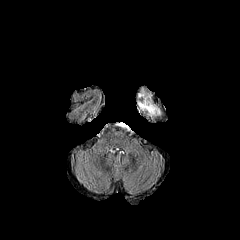
FLAIR MR image.
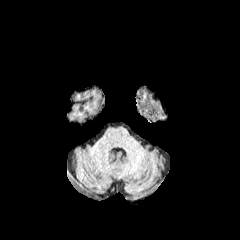
Same slice, T1-weighted MR.
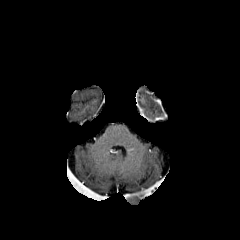
Post-contrast T1-weighted MR of the same slice.
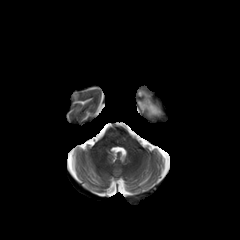
T2-weighted magnetic resonance of the same slice.
Head.
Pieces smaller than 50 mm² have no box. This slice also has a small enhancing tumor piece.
The peritumoral edema lies within {"x1": 138, "y1": 91, "x2": 160, "y2": 116}.